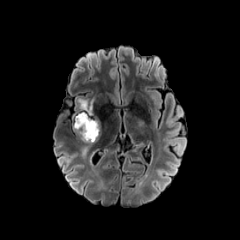
FLAIR MRI.
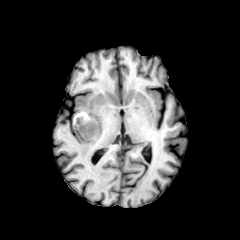
Same slice, T1-weighted MR.
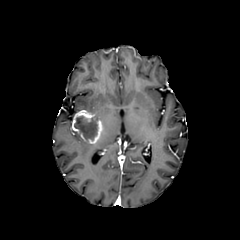
Post-contrast T1-weighted MR.
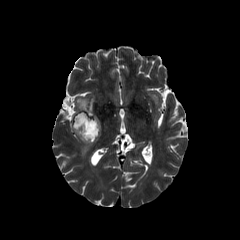
T2-weighted magnetic resonance.
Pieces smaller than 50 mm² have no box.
The 2 largest peritumoral edema regions are located at 83:142:92:153, 78:99:93:113. The enhancing tumor is at 72:110:102:143. The necrotic tumor core is located at 74:116:97:140.